Slice 112/155. Image width 240 mm.
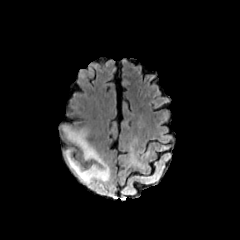
FLAIR magnetic resonance.
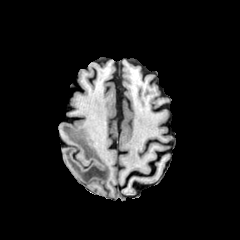
T1-weighted MRI.
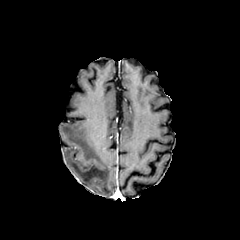
Post-contrast T1-weighted MRI.
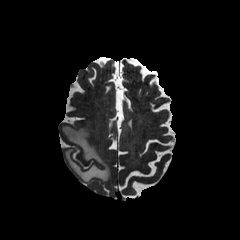
T2-weighted magnetic resonance.
<segmentation>
  <peritumoral_edema>(61, 125, 110, 184)</peritumoral_edema>
</segmentation>